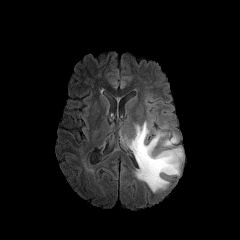
FLAIR MR image.
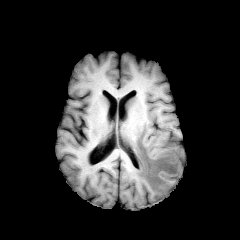
T1-weighted magnetic resonance.
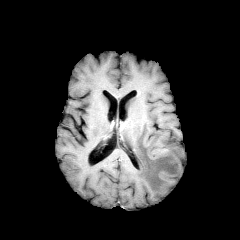
Post-contrast T1-weighted MRI.
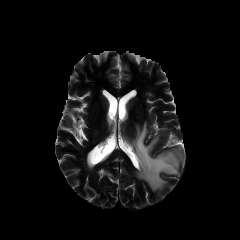
Same slice, T2-weighted MRI.
Axial slice
peritumoral edema — bbox=[128, 122, 183, 192]